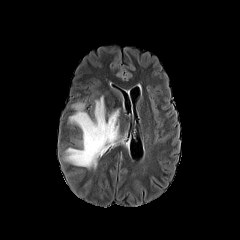
FLAIR magnetic resonance.
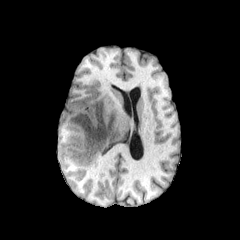
T1-weighted magnetic resonance of the same slice.
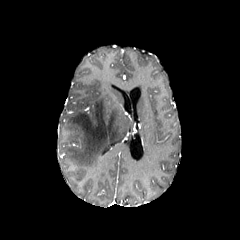
Same slice, post-contrast T1-weighted magnetic resonance.
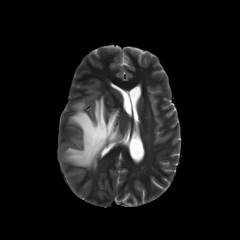
T2-weighted MR image.
Brain. Axial slice.
peritumoral_edema:
  - rect(65, 96, 121, 171)